Axial plane. Slice index 114. Image width 240 mm.
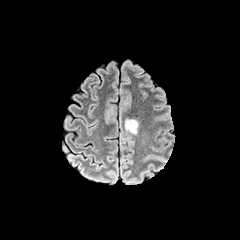
FLAIR magnetic resonance.
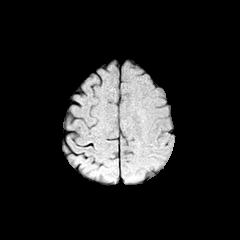
T1-weighted MR of the same slice.
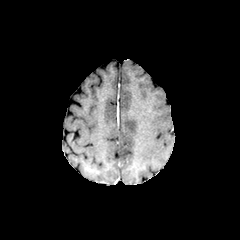
Same slice, post-contrast T1-weighted magnetic resonance.
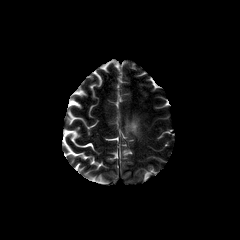
Same slice, T2-weighted MR image.
The peritumoral edema appears at [125, 119, 138, 133].